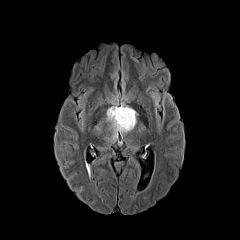
FLAIR magnetic resonance.
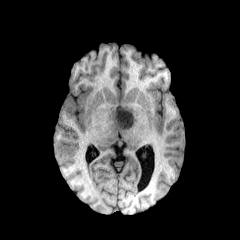
Same slice, T1-weighted MR image.
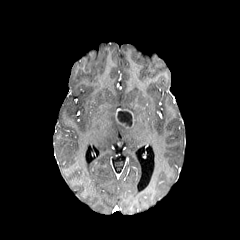
Post-contrast T1-weighted MR image.
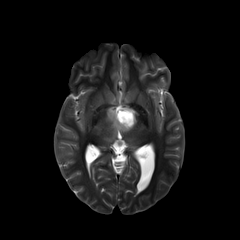
T2-weighted MR image of the same slice.
enhancing tumor: (115,108,134,128) | peritumoral edema: (104,102,137,141) | necrotic tumor core: (117,111,132,127)